FLAIR MR.
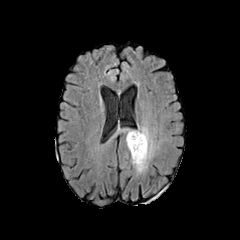
T1-weighted MRI.
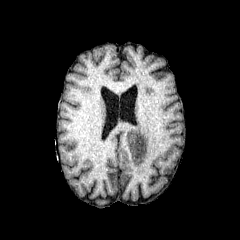
Post-contrast T1-weighted MR image.
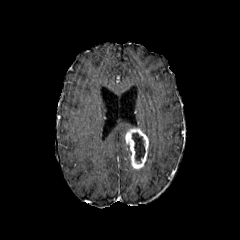
T2-weighted magnetic resonance.
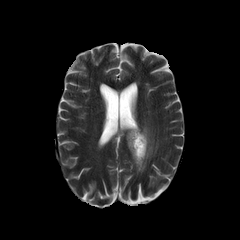
Brain. 240x240 px.
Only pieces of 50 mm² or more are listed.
necrotic tumor core: bounding box 132,133,145,162
peritumoral edema: bounding box 136,126,157,173
enhancing tumor: bounding box 125,128,148,169